Slice index 61; 240x240
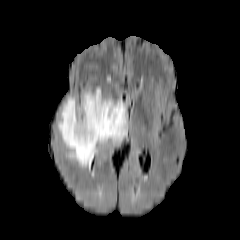
FLAIR magnetic resonance.
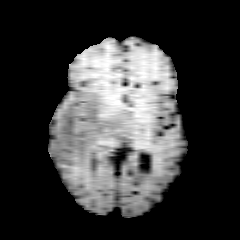
Same slice, T1-weighted MR.
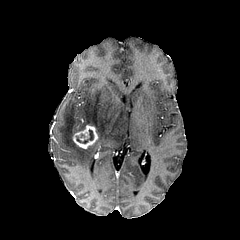
Same slice, post-contrast T1-weighted MR.
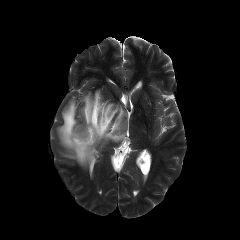
T2-weighted magnetic resonance of the same slice.
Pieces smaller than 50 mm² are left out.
- enhancing tumor: x1=73, y1=125, x2=98, y2=148
- peritumoral edema: x1=58, y1=88, x2=127, y2=169
- necrotic tumor core: x1=76, y1=129, x2=93, y2=143